FLAIR MRI.
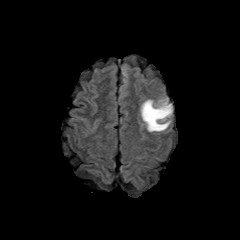
T1-weighted MR.
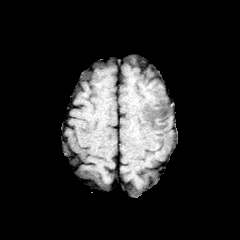
Post-contrast T1-weighted MR.
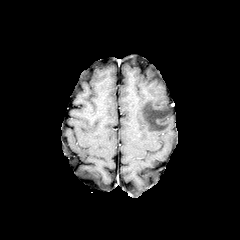
T2-weighted MR image.
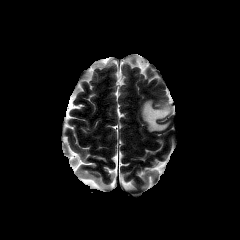
Head
peritumoral edema: (x1=140, y1=98, x2=172, y2=131)